Slice index 40 | Axial view | Image width 240 mm, 1.00 mm slice spacing | Brain
FLAIR MRI.
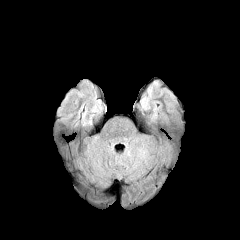
T1-weighted MR.
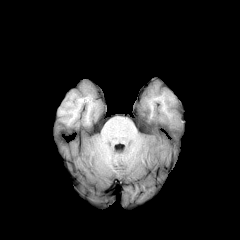
Post-contrast T1-weighted MR image.
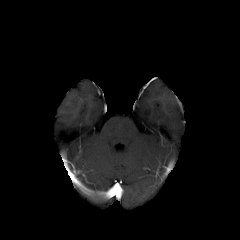
T2-weighted MR.
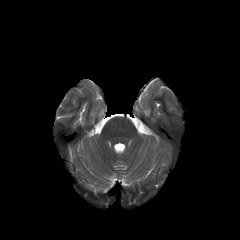
<segmentation>
  <peritumoral_edema>140:96:149:110</peritumoral_edema>
</segmentation>